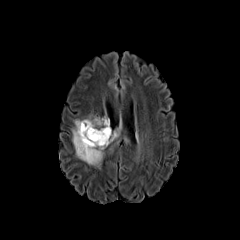
FLAIR MR image.
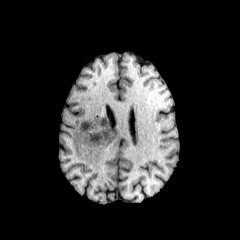
T1-weighted MR image of the same slice.
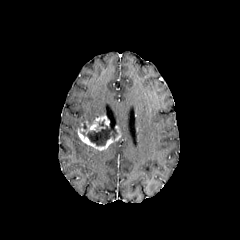
Post-contrast T1-weighted MR image.
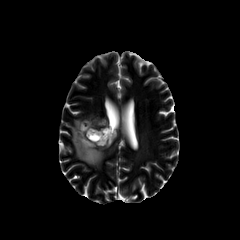
T2-weighted MR of the same slice.
Axial plane. Head.
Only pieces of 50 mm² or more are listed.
The largest necrotic tumor core region is at {"x1": 81, "y1": 126, "x2": 117, "y2": 145}. The enhancing tumor is located at {"x1": 77, "y1": 115, "x2": 120, "y2": 150}. The peritumoral edema appears at {"x1": 72, "y1": 115, "x2": 104, "y2": 167}.